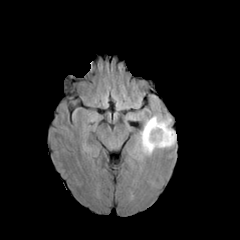
FLAIR MR image.
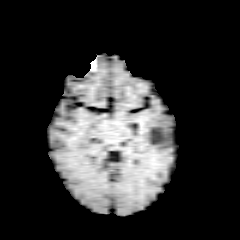
Same slice, T1-weighted MR.
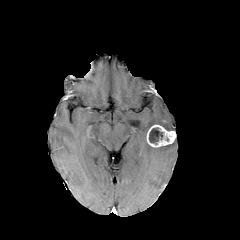
Same slice, post-contrast T1-weighted magnetic resonance.
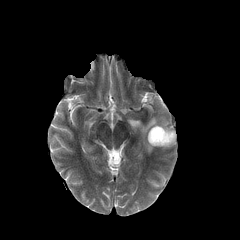
T2-weighted MRI.
240x240.
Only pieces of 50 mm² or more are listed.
{
  "peritumoral_edema": [
    "140, 116, 172, 154"
  ],
  "enhancing_tumor": [
    "146, 124, 176, 147"
  ],
  "necrotic_tumor_core": [
    "149, 127, 163, 144"
  ]
}